FLAIR MR.
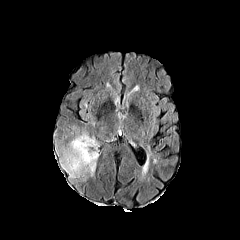
T1-weighted MR image.
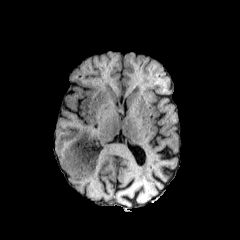
Post-contrast T1-weighted MR.
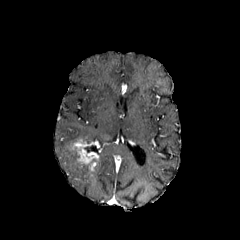
T2-weighted MRI.
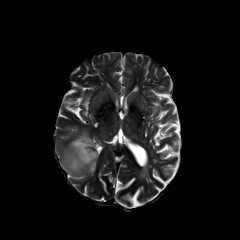
Head
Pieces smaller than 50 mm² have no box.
{"peritumoral_edema": ["60:132:99:179"], "necrotic_tumor_core": ["83:144:97:152"], "enhancing_tumor": ["74:140:98:164"]}